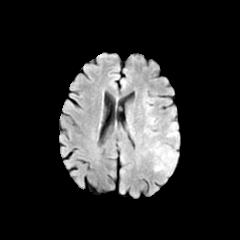
FLAIR MRI.
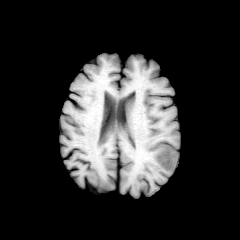
T1-weighted MR image.
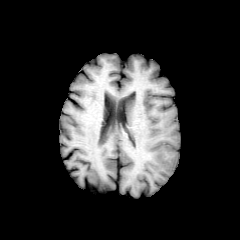
Post-contrast T1-weighted MR.
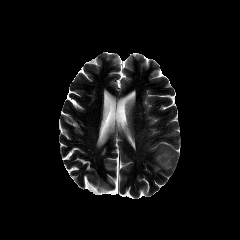
T2-weighted MRI.
Axial view, Image size 240x240
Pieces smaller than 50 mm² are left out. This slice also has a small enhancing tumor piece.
peritumoral edema: x1=154 y1=146 x2=177 y2=171